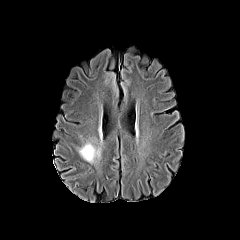
FLAIR magnetic resonance.
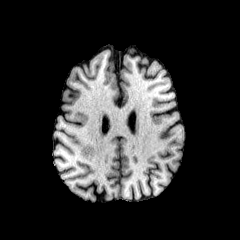
Same slice, T1-weighted MRI.
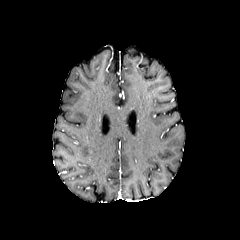
Post-contrast T1-weighted MR image.
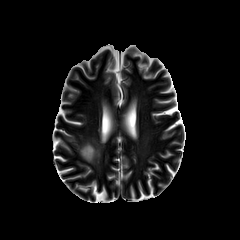
T2-weighted MR image.
Head
peritumoral edema — bbox(79, 142, 100, 162)